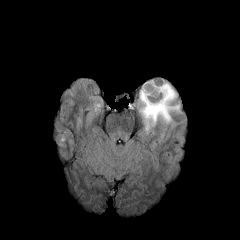
FLAIR MRI.
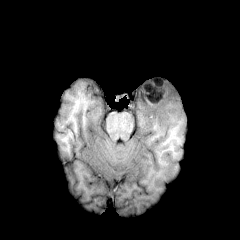
T1-weighted magnetic resonance.
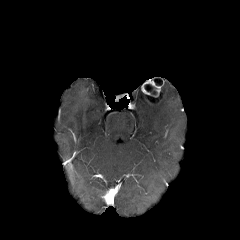
Same slice, post-contrast T1-weighted MR.
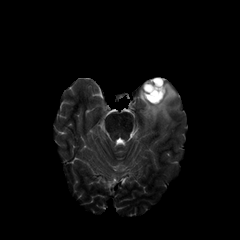
T2-weighted magnetic resonance of the same slice.
Axial plane.
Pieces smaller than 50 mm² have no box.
necrotic tumor core = <box>154,78,162,85</box>, <box>144,84,157,95</box>, <box>145,92,161,103</box>
enhancing tumor = <box>141,79,166,104</box>
peritumoral edema = <box>138,82,181,133</box>